Brain; Slice 89/155
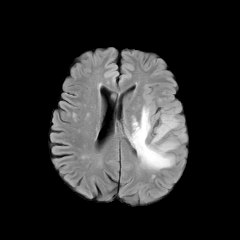
FLAIR magnetic resonance.
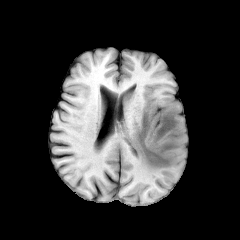
T1-weighted MR image.
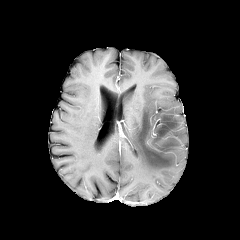
Post-contrast T1-weighted MR image of the same slice.
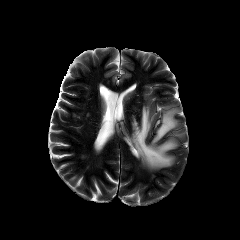
T2-weighted MRI.
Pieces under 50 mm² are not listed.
The 2 largest peritumoral edema regions are bounded by bbox=[175, 131, 184, 138]; bbox=[128, 106, 179, 170].